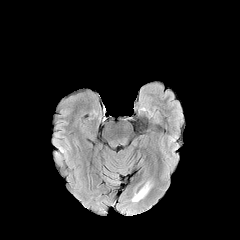
FLAIR MR.
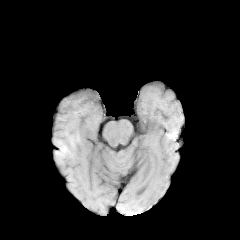
Same slice, T1-weighted MRI.
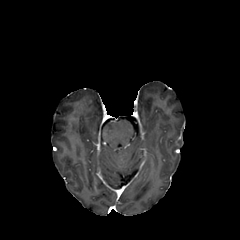
Post-contrast T1-weighted MR of the same slice.
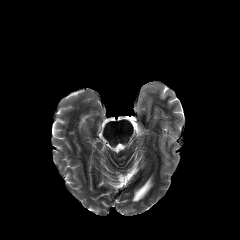
T2-weighted MR image of the same slice.
240x240 px.
peritumoral edema: bounding box box=[132, 181, 150, 201]